Head; Slice index 94
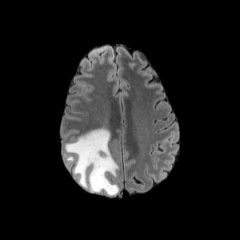
FLAIR MR.
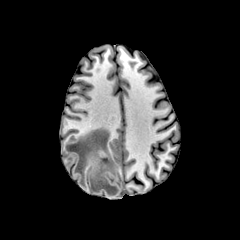
Same slice, T1-weighted MR image.
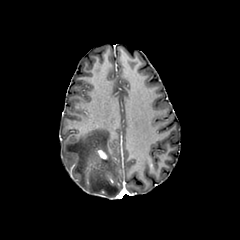
Post-contrast T1-weighted magnetic resonance of the same slice.
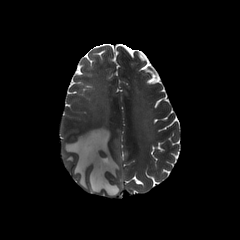
Same slice, T2-weighted MR image.
enhancing tumor: [97, 149, 107, 159] | peritumoral edema: [64, 128, 119, 196]